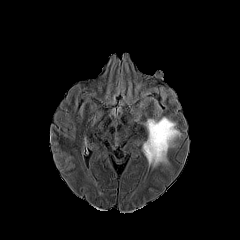
FLAIR MRI.
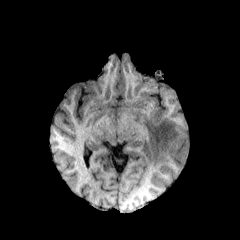
Same slice, T1-weighted MRI.
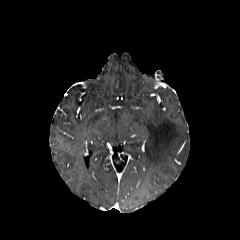
Post-contrast T1-weighted magnetic resonance.
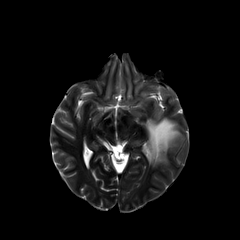
Same slice, T2-weighted MR.
Axial slice
The peritumoral edema is located at {"x1": 144, "y1": 117, "x2": 180, "y2": 166}.